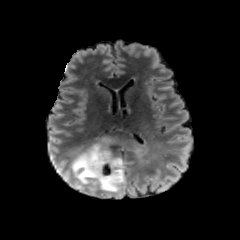
FLAIR MRI.
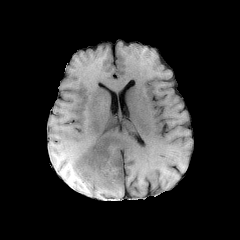
T1-weighted MR of the same slice.
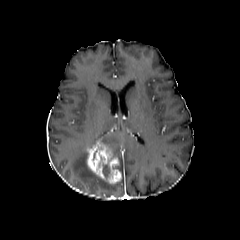
Post-contrast T1-weighted MR of the same slice.
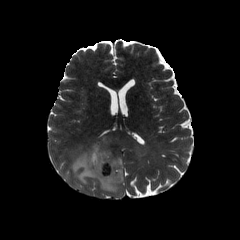
T2-weighted magnetic resonance of the same slice.
Brain
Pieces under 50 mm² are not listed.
Annotated regions:
• necrotic tumor core: (102,164,110,179)
• peritumoral edema: (70,141,125,191)
• enhancing tumor: (87,144,121,184)